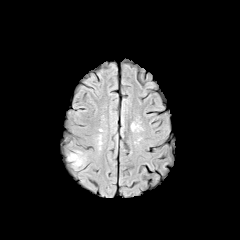
FLAIR magnetic resonance.
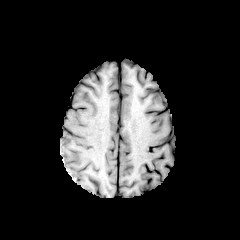
T1-weighted MR.
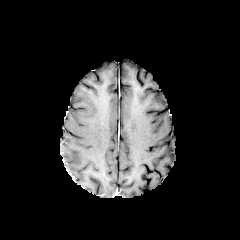
Post-contrast T1-weighted magnetic resonance.
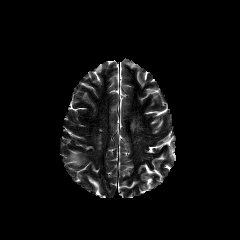
T2-weighted MRI.
240x240 px. Axial plane.
The peritumoral edema is located at 69 154 82 165.